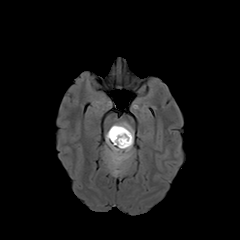
FLAIR magnetic resonance.
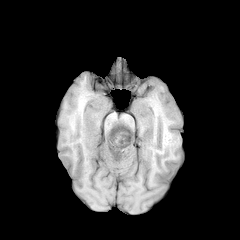
Same slice, T1-weighted magnetic resonance.
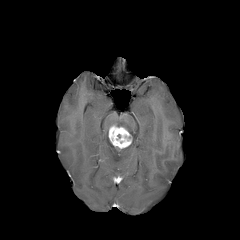
Post-contrast T1-weighted MR.
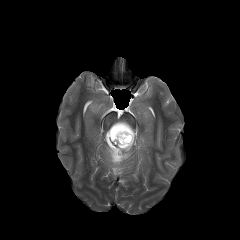
T2-weighted MR of the same slice.
Image size 240x240.
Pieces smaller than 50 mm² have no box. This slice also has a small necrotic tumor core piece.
peritumoral edema: [x1=104, y1=121, x2=134, y2=176] | enhancing tumor: [x1=108, y1=125, x2=132, y2=149]